240x240, Head
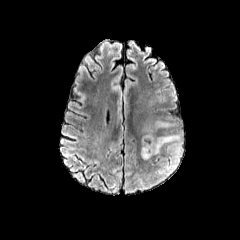
FLAIR MR.
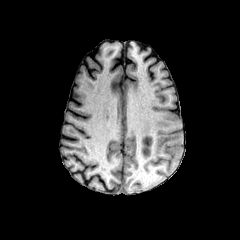
Same slice, T1-weighted MR.
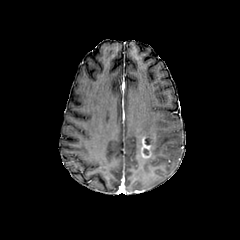
Same slice, post-contrast T1-weighted MR image.
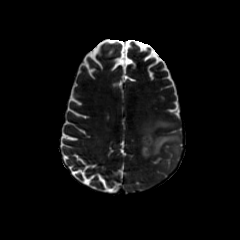
T2-weighted magnetic resonance.
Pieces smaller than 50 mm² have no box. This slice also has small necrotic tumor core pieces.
The 2 largest peritumoral edema regions are bounded by 151, 133, 182, 168; 143, 120, 175, 135. The enhancing tumor is bounded by 140, 134, 155, 158.